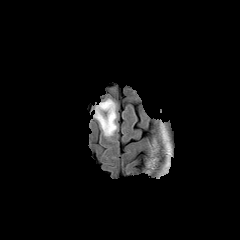
FLAIR MR image.
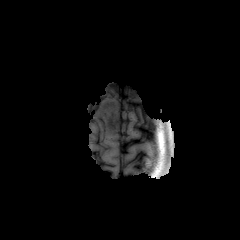
T1-weighted MRI.
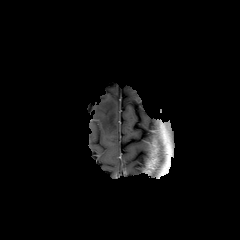
Same slice, post-contrast T1-weighted MR image.
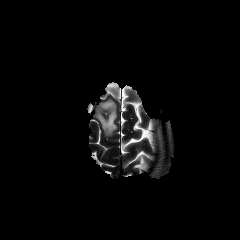
T2-weighted MR image of the same slice.
Image size 240x240
The peritumoral edema is bounded by 93, 99, 117, 137.